Slice 76/155 | Axial view
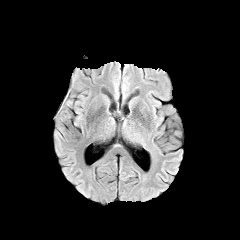
FLAIR magnetic resonance.
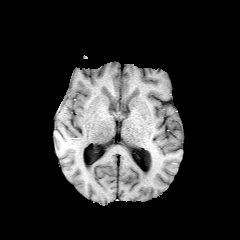
Same slice, T1-weighted magnetic resonance.
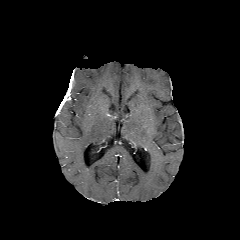
Post-contrast T1-weighted MRI.
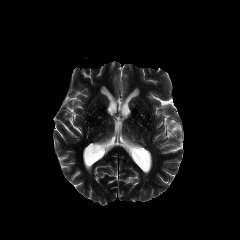
T2-weighted MRI.
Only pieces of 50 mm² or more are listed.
{
  "enhancing_tumor": [
    "x1=56, y1=85, x2=70, y2=114"
  ]
}